FLAIR MR image.
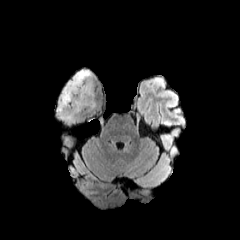
T1-weighted MRI.
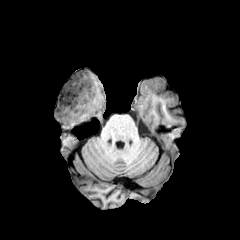
Post-contrast T1-weighted MRI.
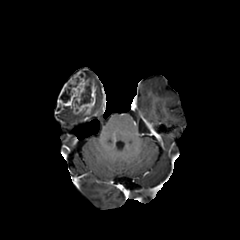
T2-weighted MRI.
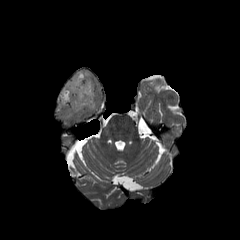
Axial plane | Head
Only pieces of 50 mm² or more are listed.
<segmentation>
  <peritumoral_edema>[x1=80, y1=70, x2=92, y2=79], [x1=59, y1=106, x2=73, y2=120]</peritumoral_edema>
  <enhancing_tumor>[x1=56, y1=71, x2=95, y2=115]</enhancing_tumor>
  <necrotic_tumor_core>[x1=60, y1=84, x2=76, y2=102], [x1=75, y1=80, x2=91, y2=105]</necrotic_tumor_core>
</segmentation>